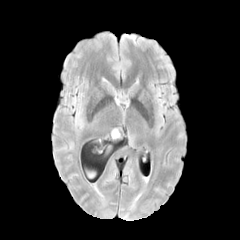
FLAIR magnetic resonance.
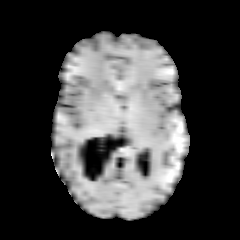
T1-weighted magnetic resonance of the same slice.
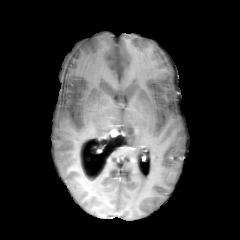
Post-contrast T1-weighted magnetic resonance of the same slice.
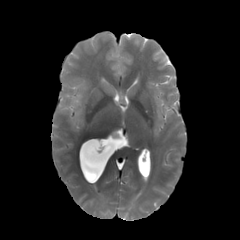
T2-weighted magnetic resonance.
Axial plane. 240x240.
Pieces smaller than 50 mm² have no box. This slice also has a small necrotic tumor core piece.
enhancing tumor — 105, 128, 120, 137